Brain, 240x240, Axial plane, Slice 121/155, Image width 240 mm, 1.00 mm slice spacing
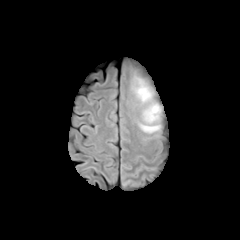
FLAIR magnetic resonance.
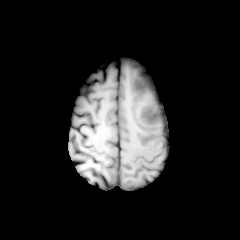
T1-weighted MR image.
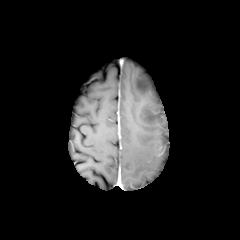
Same slice, post-contrast T1-weighted MR.
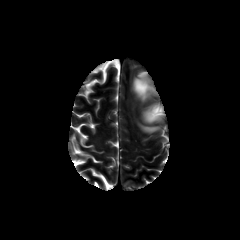
Same slice, T2-weighted magnetic resonance.
{"peritumoral_edema": ["132:76:151:102", "143:104:161:123", "140:124:159:132"]}